FLAIR MRI.
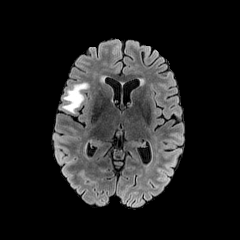
T1-weighted magnetic resonance.
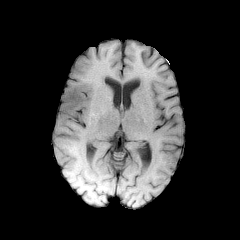
Post-contrast T1-weighted MR image.
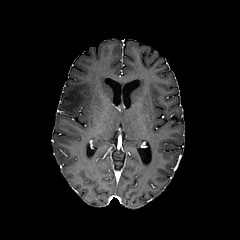
T2-weighted MRI.
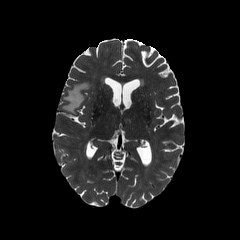
Brain
peritumoral edema: bbox(62, 82, 89, 113)